Head. Image covers 240 mm x 240 mm. Axial view. Slice 51 of 155.
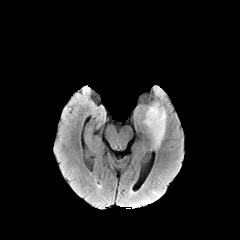
FLAIR MRI.
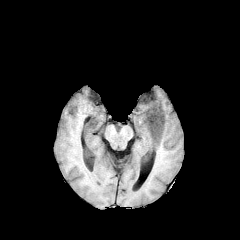
Same slice, T1-weighted MRI.
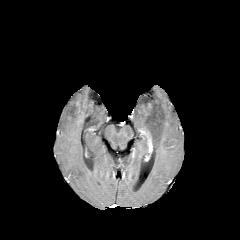
Post-contrast T1-weighted MRI.
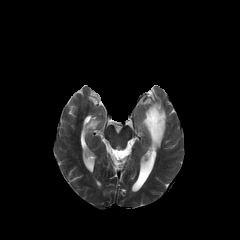
T2-weighted MR.
peritumoral_edema:
  - x1=143 y1=103 x2=166 y2=148